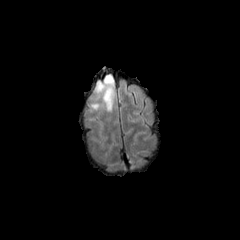
FLAIR MR image.
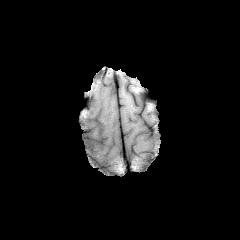
T1-weighted MR image.
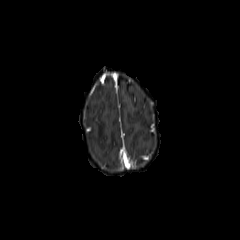
Same slice, post-contrast T1-weighted MRI.
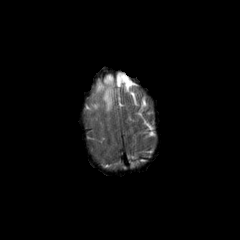
Same slice, T2-weighted MR.
240x240
* peritumoral edema: 95:75:113:111, 91:103:100:109